Slice 64 of 155
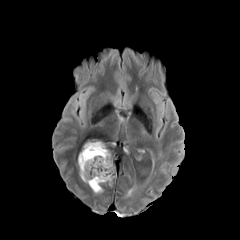
FLAIR MR.
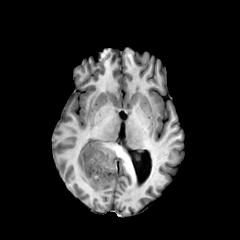
T1-weighted MRI.
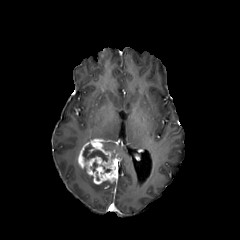
Post-contrast T1-weighted MRI of the same slice.
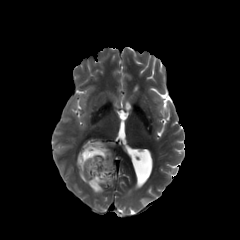
T2-weighted MR image.
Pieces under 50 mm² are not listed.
Annotated regions:
- necrotic tumor core: (83,144,107,161)
- peritumoral edema: (80,167,102,193)
- enhancing tumor: (78,139,116,184)